Image width 240 mm | Head | Image size 240x240
FLAIR MR image.
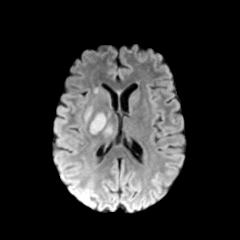
T1-weighted MR.
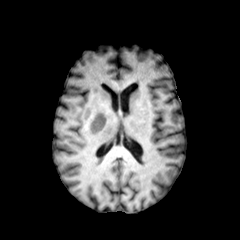
Post-contrast T1-weighted MRI.
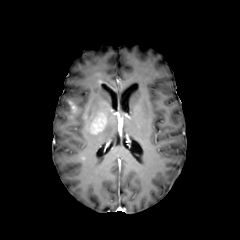
T2-weighted MR.
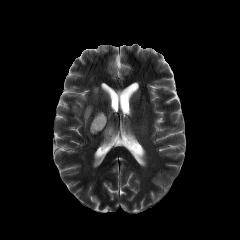
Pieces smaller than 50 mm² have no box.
The largest peritumoral edema region is located at 105 126 112 134. The largest enhancing tumor region is bounded by 90 113 106 133.